FLAIR MR.
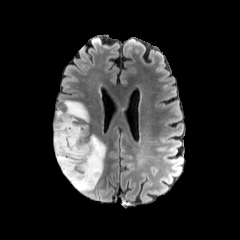
T1-weighted MR.
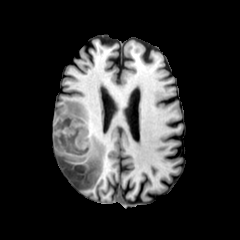
Post-contrast T1-weighted MR image.
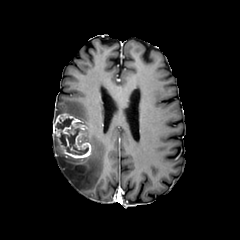
T2-weighted MRI.
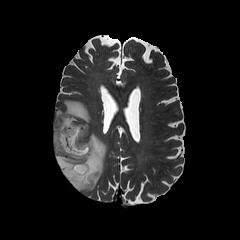
240x240 px. Head.
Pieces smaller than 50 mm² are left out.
The 2 largest necrotic tumor core regions are bounded by <bbox>60, 127, 88, 154</bbox>, <bbox>56, 116, 72, 130</bbox>. The largest enhancing tumor region is at <bbox>53, 113, 91, 158</bbox>. The 2 largest peritumoral edema regions appear at <bbox>55, 100, 91, 133</bbox>, <bbox>53, 134, 106, 192</bbox>.